FLAIR MR.
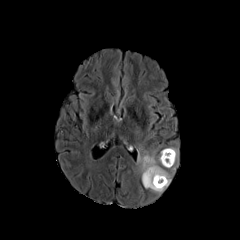
T1-weighted MR.
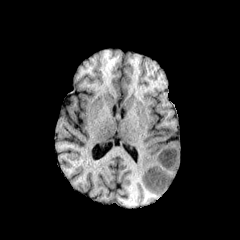
Post-contrast T1-weighted MRI.
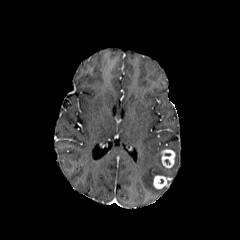
T2-weighted magnetic resonance.
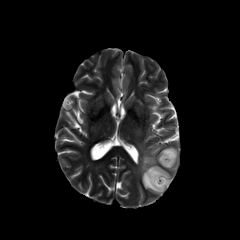
Brain, Axial view, 240x240
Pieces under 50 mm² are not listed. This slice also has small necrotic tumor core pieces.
2 enhancing tumor regions are bounded by box=[161, 149, 175, 168]; box=[153, 175, 169, 188]. The largest peritumoral edema region is bounded by box=[137, 147, 178, 194].